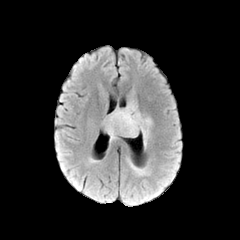
FLAIR MRI.
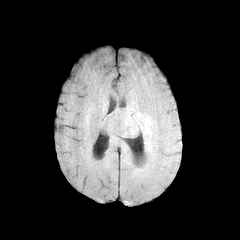
T1-weighted MRI.
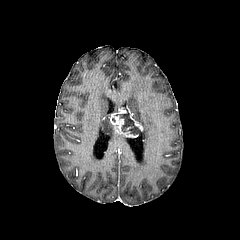
Same slice, post-contrast T1-weighted MRI.
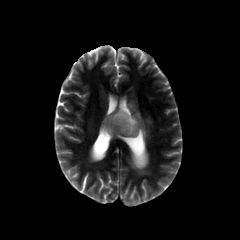
T2-weighted MR.
Axial view; Brain
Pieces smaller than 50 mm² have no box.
Findings:
* peritumoral edema: 103, 114, 118, 140; 127, 103, 151, 146
* enhancing tumor: 109, 108, 138, 137; 127, 107, 142, 130
* necrotic tumor core: 115, 108, 140, 134